Image width 240 mm
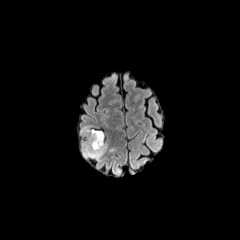
FLAIR magnetic resonance.
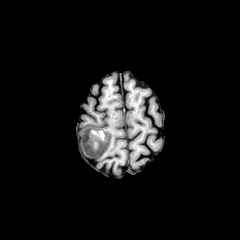
Same slice, T1-weighted MR image.
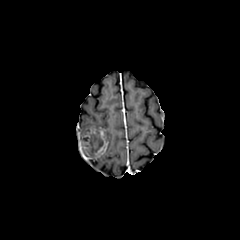
Post-contrast T1-weighted magnetic resonance.
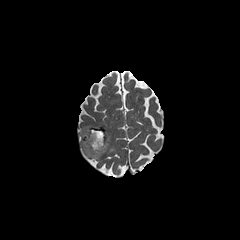
T2-weighted magnetic resonance.
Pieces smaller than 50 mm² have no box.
* necrotic tumor core: box(85, 132, 103, 154)
* enhancing tumor: box(83, 130, 107, 157)
* peritumoral edema: box(81, 125, 93, 136); box(82, 137, 100, 159)